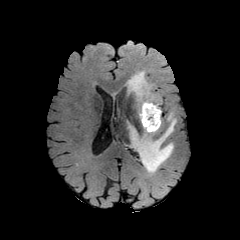
FLAIR magnetic resonance.
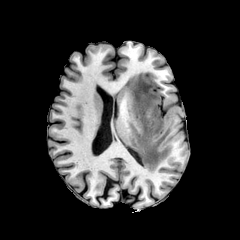
T1-weighted magnetic resonance of the same slice.
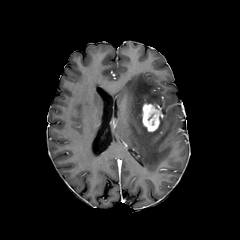
Post-contrast T1-weighted MR of the same slice.
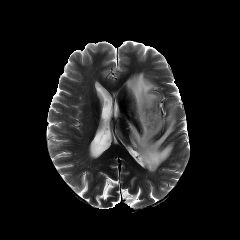
Same slice, T2-weighted MRI.
240x240. Axial plane.
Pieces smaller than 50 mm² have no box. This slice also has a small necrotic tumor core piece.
The peritumoral edema is located at (x1=126, y1=71, x2=176, y2=172). The enhancing tumor is bounded by (x1=142, y1=103, x2=160, y2=131).